Image covers 240 mm x 240 mm, Axial view
FLAIR MRI.
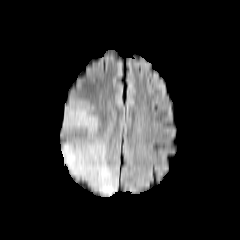
T1-weighted MRI.
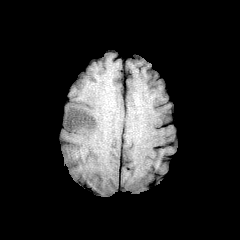
Post-contrast T1-weighted magnetic resonance.
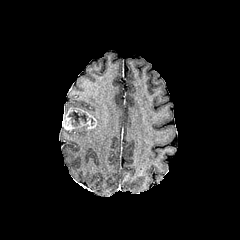
T2-weighted magnetic resonance.
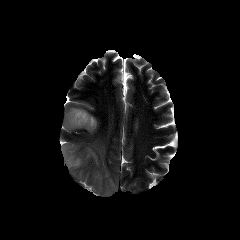
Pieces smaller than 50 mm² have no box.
peritumoral edema at x1=64 y1=103 x2=90 y2=113, x1=61 y1=139 x2=117 y2=195, x1=86 y1=116 x2=98 y2=134
enhancing tumor at x1=62 y1=107 x2=96 y2=130
necrotic tumor core at x1=68 y1=109 x2=87 y2=126